Image covers 240 mm x 240 mm, Slice index 43, Brain
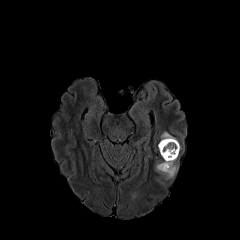
FLAIR MR.
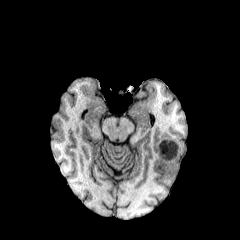
Same slice, T1-weighted MR image.
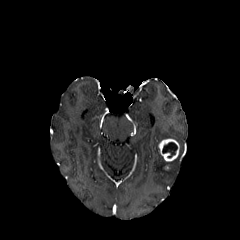
Post-contrast T1-weighted MR.
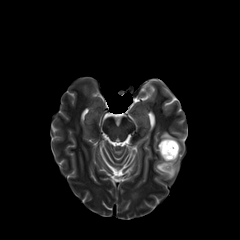
Same slice, T2-weighted MR.
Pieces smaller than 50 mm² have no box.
{"peritumoral_edema": ["[x1=155, y1=158, x2=178, y2=179]", "[x1=160, y1=131, x2=178, y2=142]"], "necrotic_tumor_core": ["[x1=162, y1=142, x2=177, y2=157]"], "enhancing_tumor": ["[x1=158, y1=138, x2=179, y2=161]"]}